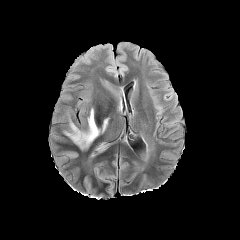
FLAIR magnetic resonance.
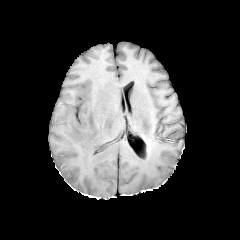
T1-weighted MR image of the same slice.
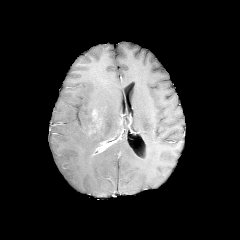
Post-contrast T1-weighted magnetic resonance of the same slice.
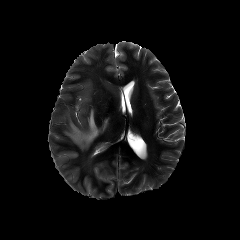
Same slice, T2-weighted MR.
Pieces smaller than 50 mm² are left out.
{
  "peritumoral_edema": [
    "x1=64 y1=108 x2=108 y2=149"
  ],
  "enhancing_tumor": [
    "x1=96 y1=142 x2=108 y2=152"
  ]
}